Head | Slice index 94
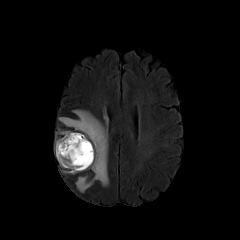
FLAIR MRI.
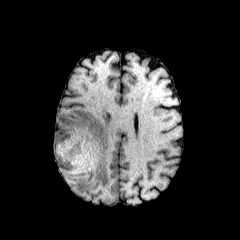
T1-weighted magnetic resonance.
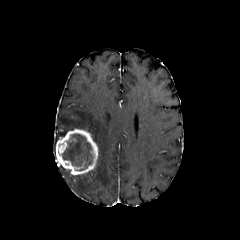
Post-contrast T1-weighted magnetic resonance.
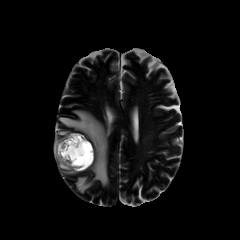
Same slice, T2-weighted MR image.
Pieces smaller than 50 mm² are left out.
The necrotic tumor core appears at 62 134 92 170. The enhancing tumor is located at 56 128 98 174. The largest peritumoral edema region is bounded by 58 109 109 192.